Image covers 240 mm x 240 mm | Slice 58 of 155 | Brain | Image size 240x240
FLAIR MR image.
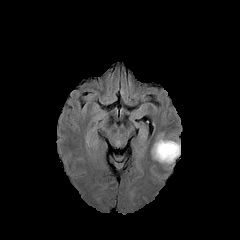
T1-weighted MR.
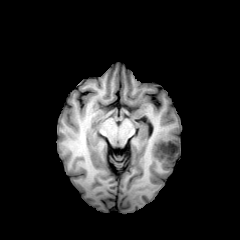
Post-contrast T1-weighted MR image.
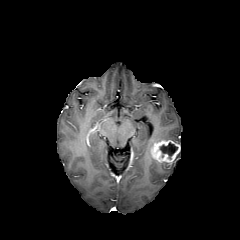
T2-weighted magnetic resonance.
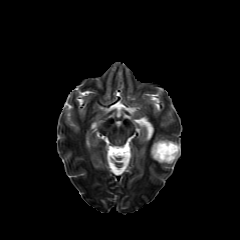
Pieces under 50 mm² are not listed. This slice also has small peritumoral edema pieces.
The necrotic tumor core appears at rect(160, 142, 177, 158). The enhancing tumor is located at rect(151, 140, 180, 163).